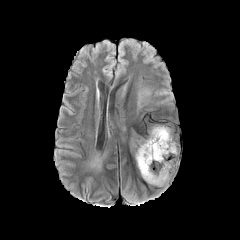
FLAIR MR.
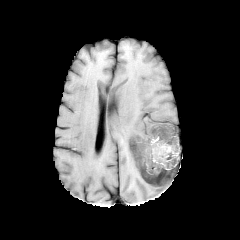
T1-weighted MR image of the same slice.
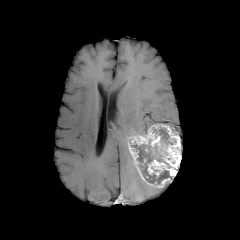
Post-contrast T1-weighted MR image.
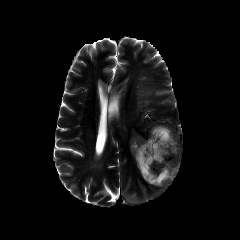
T2-weighted MR.
Axial view.
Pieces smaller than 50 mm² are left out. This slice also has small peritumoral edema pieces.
• necrotic tumor core: x1=131, y1=145, x2=171, y2=183; x1=154, y1=128, x2=172, y2=144
• enhancing tumor: x1=129, y1=124, x2=180, y2=187